FLAIR magnetic resonance.
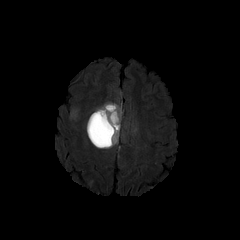
T1-weighted MR image.
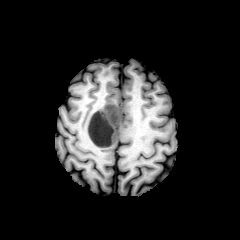
Post-contrast T1-weighted MR.
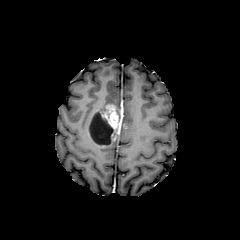
T2-weighted magnetic resonance.
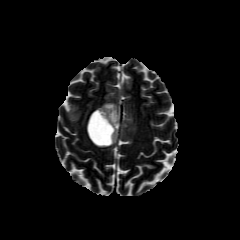
Axial view
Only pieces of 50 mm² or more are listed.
Findings:
• necrotic tumor core: 89:111:113:145
• enhancing tumor: 99:104:121:143, 87:112:110:147
• peritumoral edema: 93:102:121:119, 70:108:78:118